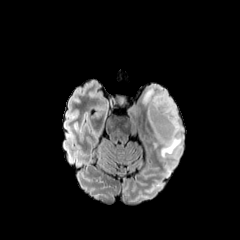
FLAIR MR.
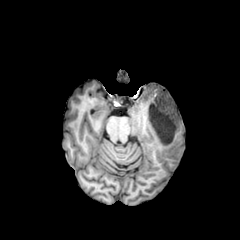
T1-weighted MR.
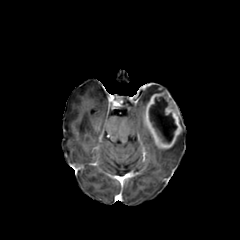
Post-contrast T1-weighted magnetic resonance.
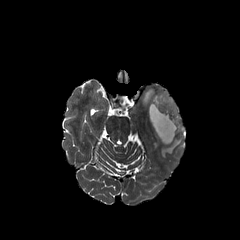
Same slice, T2-weighted MRI.
Axial view; 240x240 px; Brain
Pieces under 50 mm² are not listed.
The 2 largest peritumoral edema regions appear at l=142, t=84, r=160, b=107; l=161, t=117, r=184, b=157. The enhancing tumor is at l=144, t=87, r=182, b=149. The necrotic tumor core is located at l=149, t=97, r=177, b=143.